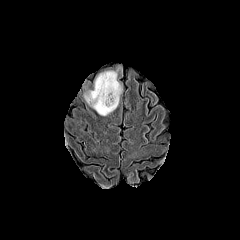
FLAIR MRI.
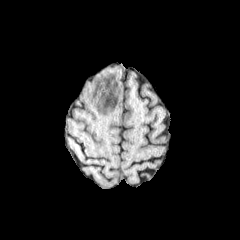
T1-weighted magnetic resonance.
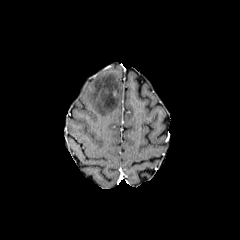
Post-contrast T1-weighted MR image.
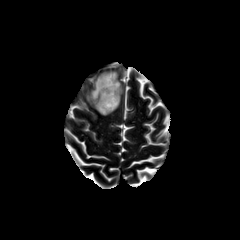
T2-weighted MRI of the same slice.
Axial plane, Head
peritumoral edema — bbox=[85, 71, 121, 115]